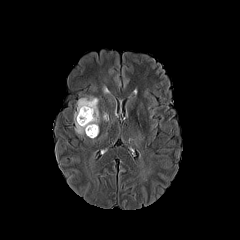
FLAIR magnetic resonance.
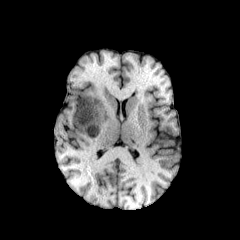
T1-weighted MRI.
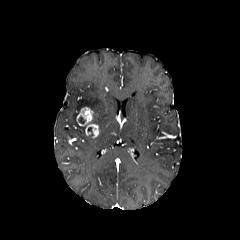
Post-contrast T1-weighted MRI.
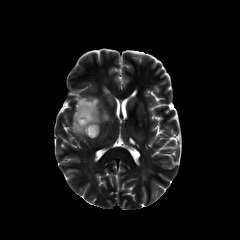
T2-weighted magnetic resonance.
Axial plane. Brain.
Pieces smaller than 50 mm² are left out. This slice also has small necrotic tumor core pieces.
peritumoral edema: l=74, t=96, r=99, b=135
enhancing tumor: l=76, t=107, r=98, b=138